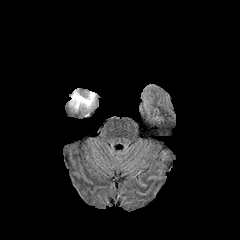
FLAIR MR image.
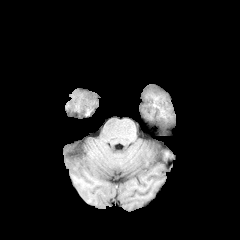
T1-weighted MR of the same slice.
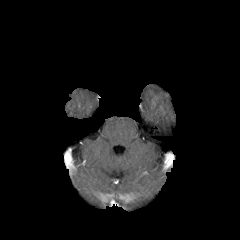
Post-contrast T1-weighted MRI.
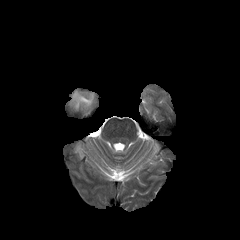
T2-weighted MR image.
Axial plane; 240x240
peritumoral edema: 70 91 94 109